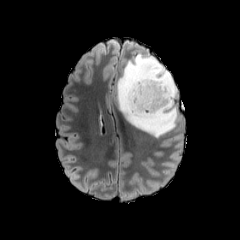
FLAIR MR.
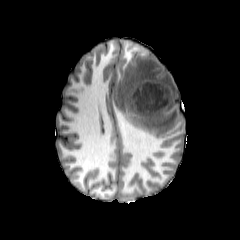
Same slice, T1-weighted MR image.
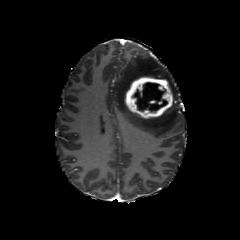
Post-contrast T1-weighted MR of the same slice.
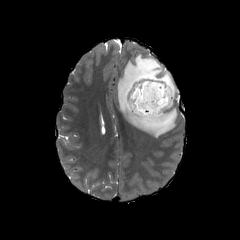
T2-weighted MR of the same slice.
Head
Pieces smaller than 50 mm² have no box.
peritumoral_edema:
  - l=115, t=50, r=178, b=137
necrotic_tumor_core:
  - l=133, t=82, r=167, b=111
enhancing_tumor:
  - l=123, t=75, r=173, b=120